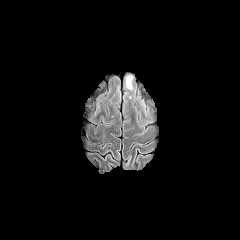
FLAIR MR.
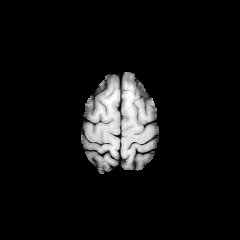
Same slice, T1-weighted MR image.
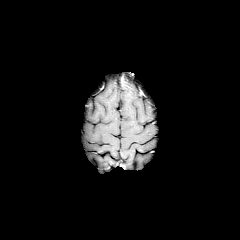
Same slice, post-contrast T1-weighted MRI.
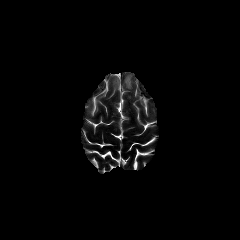
Same slice, T2-weighted MR.
Axial slice.
Annotated regions:
- peritumoral edema: region(126, 75, 132, 89)